Slice 56/155
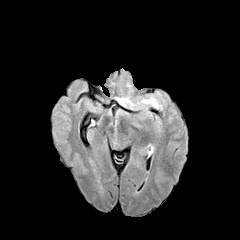
FLAIR MR image.
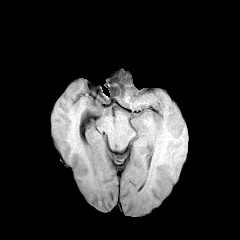
T1-weighted MR image of the same slice.
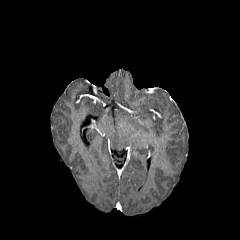
Same slice, post-contrast T1-weighted MR image.
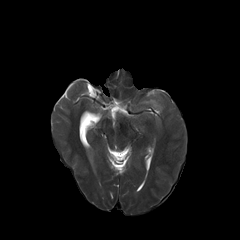
Same slice, T2-weighted MR.
peritumoral edema — 143:98:161:108